FLAIR magnetic resonance.
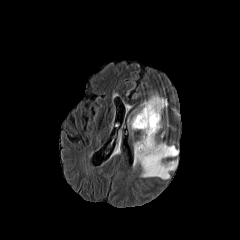
T1-weighted MRI.
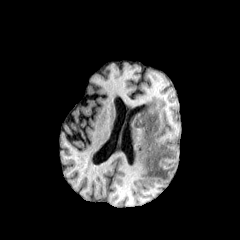
Post-contrast T1-weighted magnetic resonance.
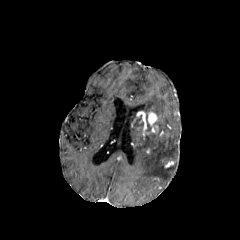
T2-weighted MR image.
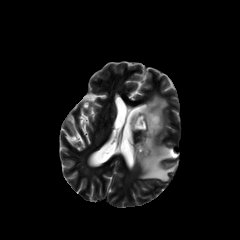
peritumoral edema = 142, 94, 167, 131; 146, 114, 151, 131; 131, 115, 143, 134; 133, 132, 178, 180
enhancing tumor = 137, 111, 158, 137